Image width 240 mm, 1.00 mm slice spacing; Head
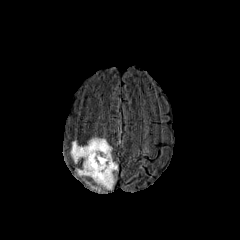
FLAIR MR image.
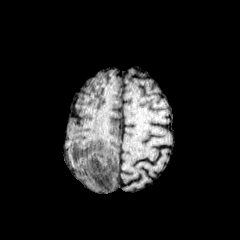
T1-weighted MRI.
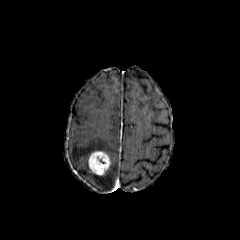
Post-contrast T1-weighted MR image.
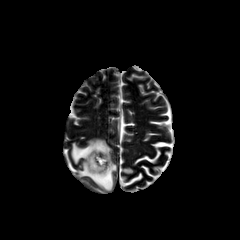
T2-weighted magnetic resonance.
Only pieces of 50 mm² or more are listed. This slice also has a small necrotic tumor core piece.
Segmented structures:
- enhancing tumor: left=88, top=151, right=111, bottom=175
- peritumoral edema: left=71, top=138, right=117, bottom=189